Head
FLAIR MR.
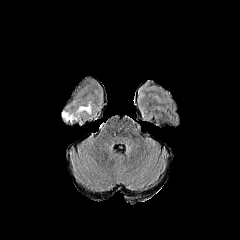
T1-weighted MR.
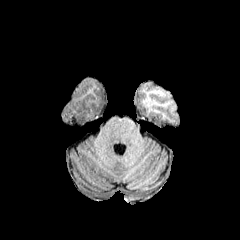
Post-contrast T1-weighted MR image.
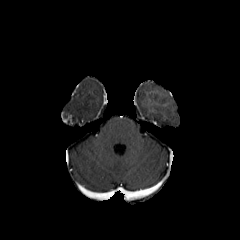
T2-weighted magnetic resonance.
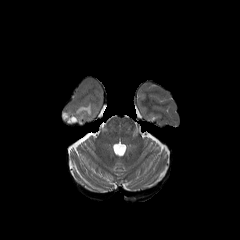
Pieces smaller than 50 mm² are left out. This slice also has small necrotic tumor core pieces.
enhancing_tumor:
  - box(62, 112, 72, 124)
peritumoral_edema:
  - box(63, 101, 92, 121)